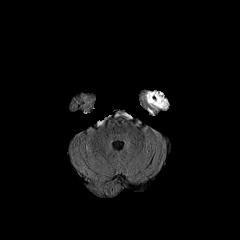
FLAIR magnetic resonance.
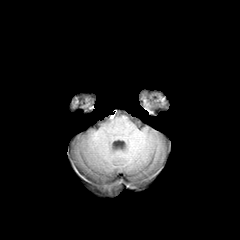
T1-weighted magnetic resonance.
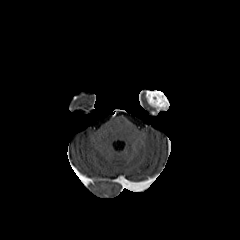
Post-contrast T1-weighted magnetic resonance of the same slice.
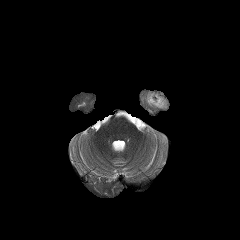
Same slice, T2-weighted magnetic resonance.
240x240
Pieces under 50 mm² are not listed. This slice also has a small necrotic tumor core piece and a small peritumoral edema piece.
The enhancing tumor lies within box(146, 91, 168, 109).